Head. Image width 240 mm, 1.00 mm slice spacing. 240x240. Slice index 74.
FLAIR magnetic resonance.
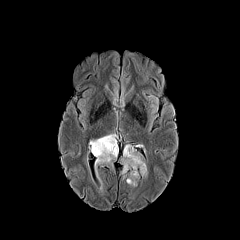
T1-weighted MRI.
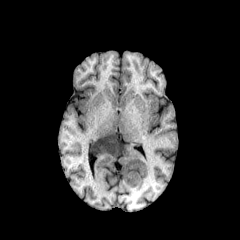
Post-contrast T1-weighted magnetic resonance.
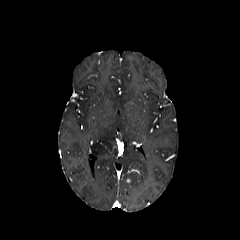
T2-weighted magnetic resonance.
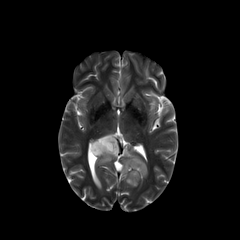
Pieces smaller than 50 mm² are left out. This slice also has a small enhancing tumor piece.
peritumoral edema: rect(90, 134, 117, 165); rect(122, 145, 147, 177); rect(127, 171, 139, 186)